Image width 240 mm; Axial slice; Slice index 106; Head
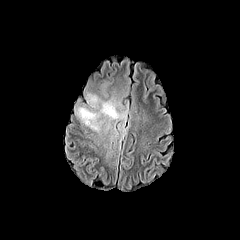
FLAIR MR.
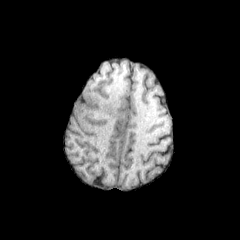
T1-weighted MR image.
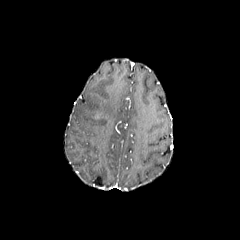
Post-contrast T1-weighted magnetic resonance.
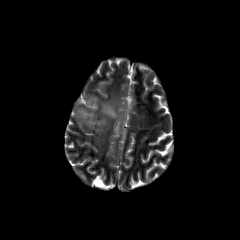
Same slice, T2-weighted MR image.
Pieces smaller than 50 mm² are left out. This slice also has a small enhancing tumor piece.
peritumoral edema — region(75, 94, 127, 132)